240x240, Axial slice, Slice index 74, Head
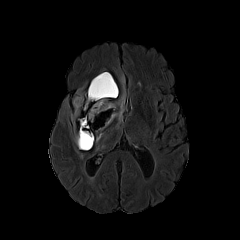
FLAIR MR image.
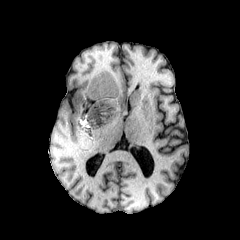
T1-weighted MR.
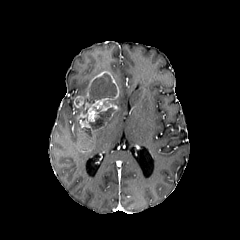
Post-contrast T1-weighted magnetic resonance.
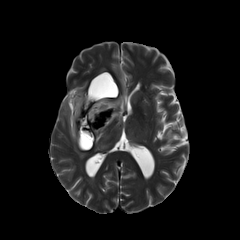
T2-weighted MR image.
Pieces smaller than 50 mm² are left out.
Findings:
- enhancing tumor: l=74, t=71, r=119, b=150
- necrotic tumor core: l=81, t=73, r=116, b=114; l=80, t=108, r=114, b=147
- peritumoral edema: l=71, t=107, r=80, b=123; l=96, t=130, r=103, b=143; l=108, t=78, r=125, b=124